Brain, 240x240, Image width 240 mm, Slice 52/155
FLAIR MR image.
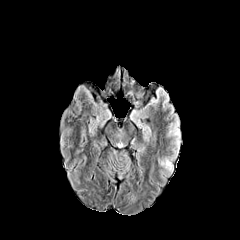
T1-weighted MRI.
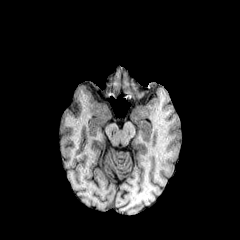
Post-contrast T1-weighted MRI.
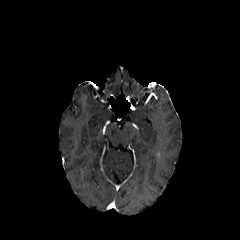
T2-weighted magnetic resonance.
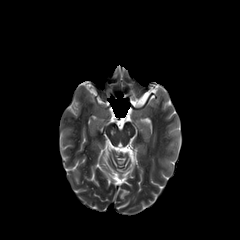
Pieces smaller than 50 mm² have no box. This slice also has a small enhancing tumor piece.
peritumoral edema at 160, 158, 173, 171; 169, 122, 180, 144